Slice index 79, Head, Axial slice, Image covers 240 mm x 240 mm
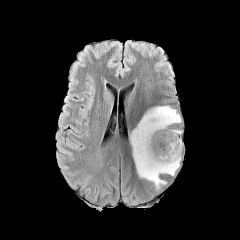
FLAIR MR image.
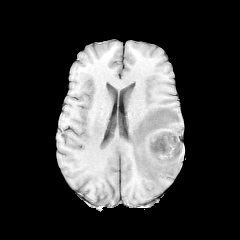
T1-weighted MR.
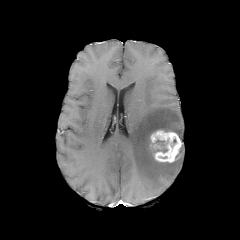
Post-contrast T1-weighted MR image.
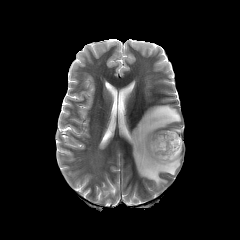
Same slice, T2-weighted MR.
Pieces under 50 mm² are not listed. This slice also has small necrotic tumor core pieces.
Segmented structures:
* enhancing tumor: (x1=150, y1=130, x2=182, y2=162)
* peritumoral edema: (x1=130, y1=105, x2=181, y2=189), (x1=165, y1=128, x2=181, y2=135)